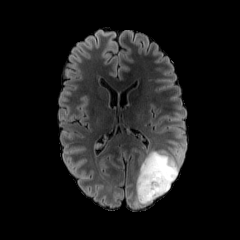
FLAIR MRI.
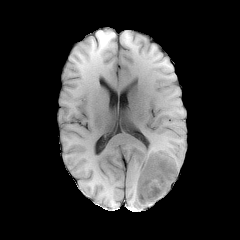
Same slice, T1-weighted MR image.
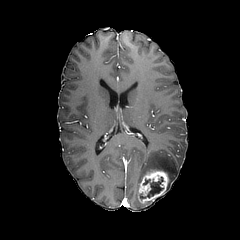
Post-contrast T1-weighted MR image.
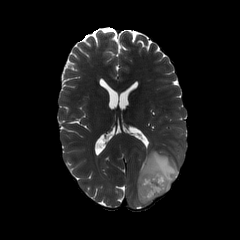
Same slice, T2-weighted MR image.
Head, 240x240
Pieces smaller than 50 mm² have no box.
necrotic_tumor_core:
  - 147,177,163,197
enhancing_tumor:
  - 138,170,169,203
peritumoral_edema:
  - 135,150,179,206